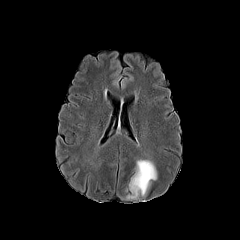
FLAIR MR image.
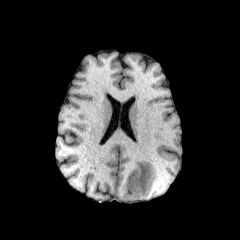
T1-weighted MR image.
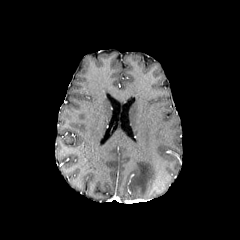
Same slice, post-contrast T1-weighted MR image.
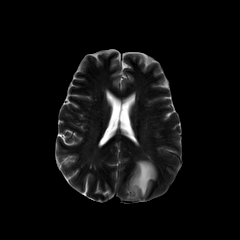
T2-weighted MR image.
Image size 240x240
The peritumoral edema is bounded by (x1=126, y1=160, x2=156, y2=199).